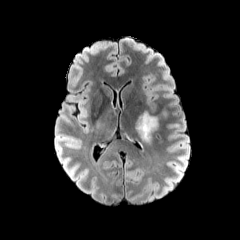
FLAIR magnetic resonance.
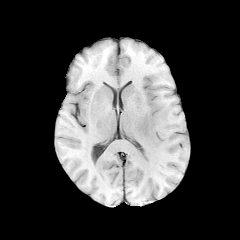
T1-weighted MR image.
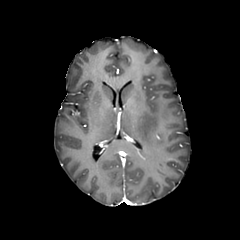
Same slice, post-contrast T1-weighted MRI.
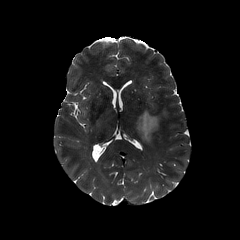
T2-weighted MR image.
Head; Image size 240x240
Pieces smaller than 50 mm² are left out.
peritumoral edema — [134, 111, 160, 144]